240x240. Slice 58/155.
FLAIR MR image.
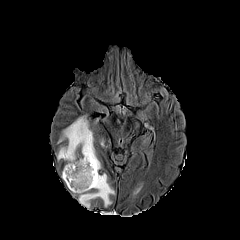
T1-weighted MR image.
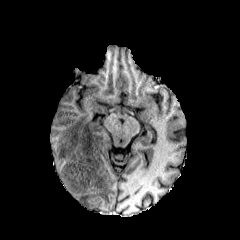
Post-contrast T1-weighted MRI.
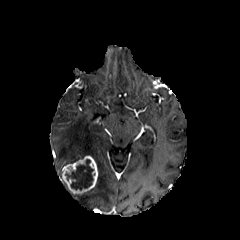
T2-weighted MRI.
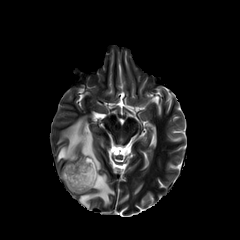
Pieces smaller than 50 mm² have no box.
The enhancing tumor appears at [x1=62, y1=155, x2=98, y2=194]. The 2 largest peritumoral edema regions appear at [x1=57, y1=116, x2=101, y2=170], [x1=78, y1=173, x2=114, y2=209]. The necrotic tumor core is bounded by [x1=65, y1=159, x2=93, y2=190].